FLAIR MR image.
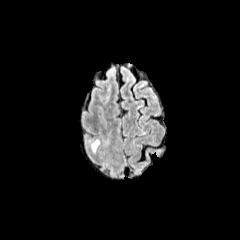
T1-weighted magnetic resonance.
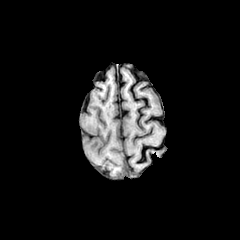
Post-contrast T1-weighted magnetic resonance.
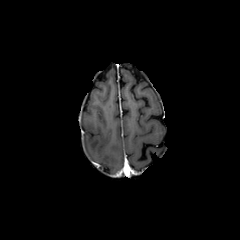
T2-weighted MR image.
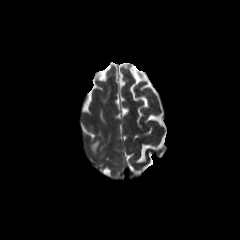
240x240
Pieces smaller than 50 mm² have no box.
The largest peritumoral edema region is bounded by 91 139 99 152.